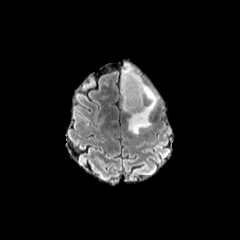
FLAIR magnetic resonance.
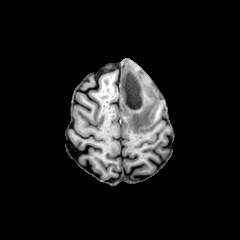
T1-weighted magnetic resonance.
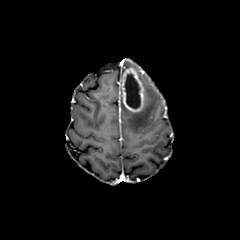
Same slice, post-contrast T1-weighted magnetic resonance.
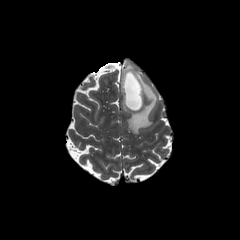
T2-weighted MRI.
Axial slice | Head
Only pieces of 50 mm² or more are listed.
The enhancing tumor is at (121, 67, 144, 111). The largest peritumoral edema region is bounded by (122, 71, 159, 134). The necrotic tumor core lies within (124, 73, 140, 108).